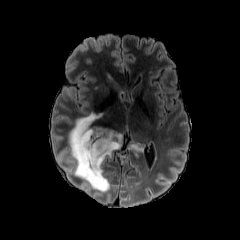
FLAIR MR image.
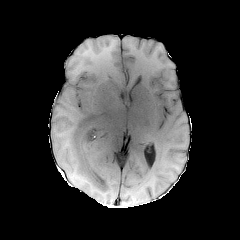
T1-weighted magnetic resonance.
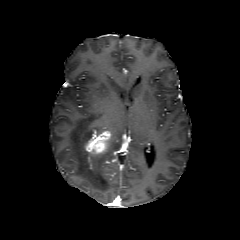
Post-contrast T1-weighted MR of the same slice.
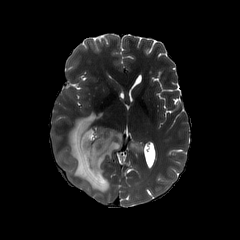
T2-weighted MR.
Head.
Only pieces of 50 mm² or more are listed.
The enhancing tumor lies within (left=84, top=130, right=111, bottom=155). The 2 largest peritumoral edema regions are bounded by (left=130, top=142, right=141, bottom=150), (left=69, top=113, right=122, bottom=192).